FLAIR MR image.
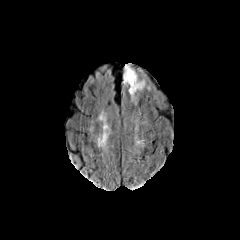
T1-weighted MR image.
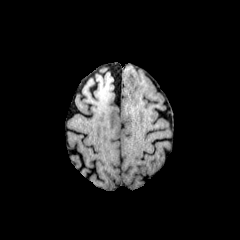
Post-contrast T1-weighted MR image.
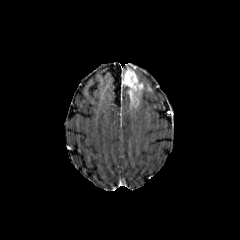
T2-weighted MR.
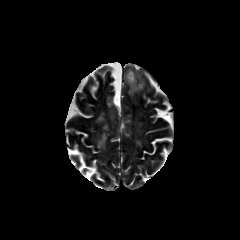
Head
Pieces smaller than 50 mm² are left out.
peritumoral_edema:
  - 130,88,144,106
enhancing_tumor:
  - 123,68,143,104